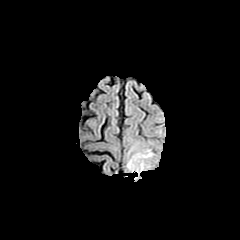
FLAIR magnetic resonance.
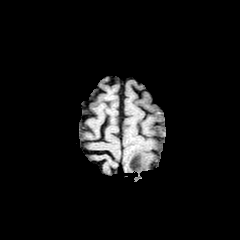
T1-weighted MR image of the same slice.
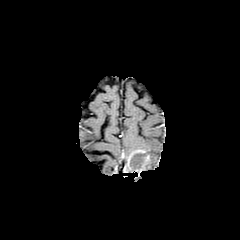
Post-contrast T1-weighted MRI of the same slice.
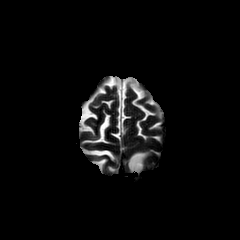
T2-weighted MRI.
240x240. Axial plane.
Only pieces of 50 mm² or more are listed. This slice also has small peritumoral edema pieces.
Findings:
* necrotic tumor core: (130,154,145,168)
* enhancing tumor: (127,150,148,174)